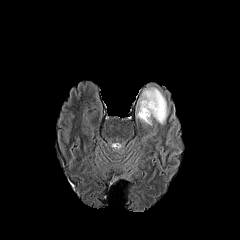
FLAIR MRI.
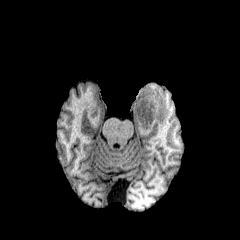
T1-weighted MR.
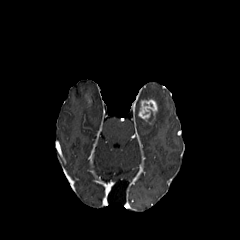
Post-contrast T1-weighted MR.
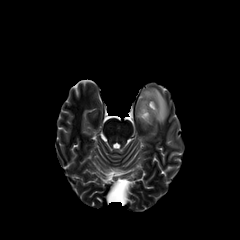
T2-weighted MR image of the same slice.
Axial slice; Head
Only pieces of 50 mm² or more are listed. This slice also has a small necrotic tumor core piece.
The peritumoral edema is located at 136 85 169 126. The largest enhancing tumor region is at 138 99 157 121.